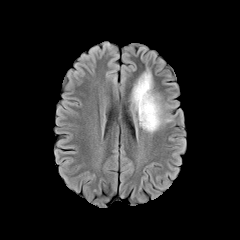
FLAIR magnetic resonance.
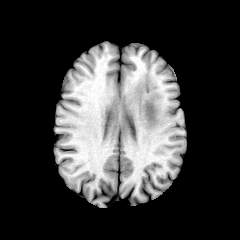
T1-weighted MR.
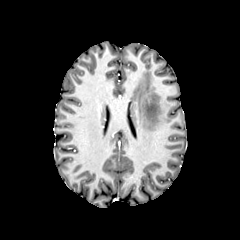
Post-contrast T1-weighted MRI.
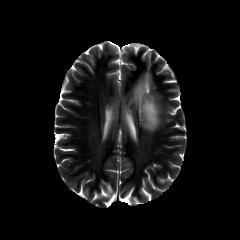
T2-weighted MRI.
Brain
{
  "peritumoral_edema": [
    "(left=132, top=72, right=171, bottom=132)"
  ]
}